FLAIR MR image.
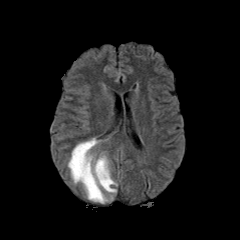
T1-weighted magnetic resonance.
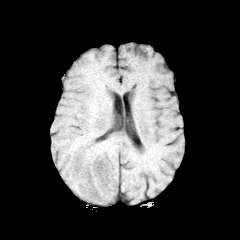
Post-contrast T1-weighted MR.
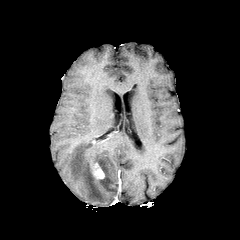
T2-weighted magnetic resonance.
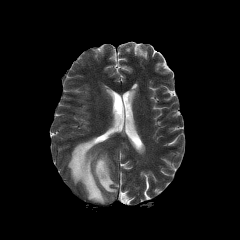
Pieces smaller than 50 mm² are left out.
The largest enhancing tumor region is at 91 162 104 179. The peritumoral edema is at 68 138 116 203.